FLAIR MR image.
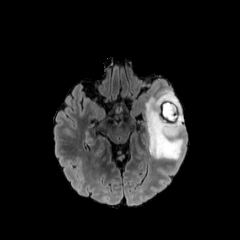
T1-weighted MR image.
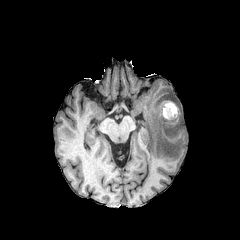
Post-contrast T1-weighted MR image.
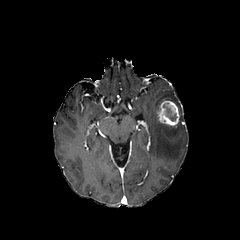
T2-weighted magnetic resonance.
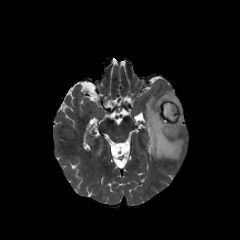
peritumoral edema = {"x1": 145, "y1": 90, "x2": 184, "y2": 159}
enhancing tumor = {"x1": 156, "y1": 99, "x2": 179, "y2": 126}
necrotic tumor core = {"x1": 163, "y1": 103, "x2": 176, "y2": 121}